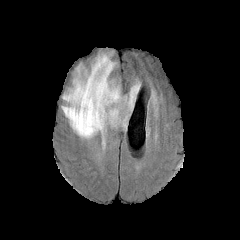
FLAIR MRI.
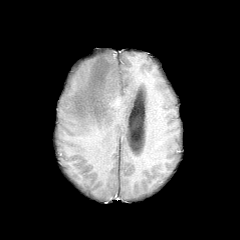
Same slice, T1-weighted magnetic resonance.
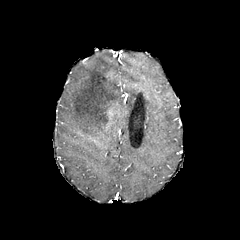
Post-contrast T1-weighted MRI.
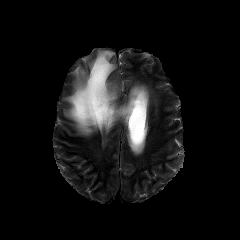
T2-weighted MR image of the same slice.
Brain
The enhancing tumor is bounded by {"x1": 108, "y1": 109, "x2": 114, "y2": 119}. The peritumoral edema lies within {"x1": 62, "y1": 53, "x2": 141, "y2": 148}.